FLAIR MR.
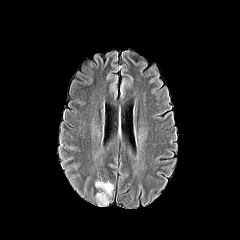
T1-weighted MRI.
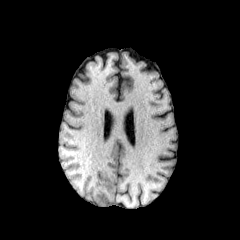
Post-contrast T1-weighted MR image.
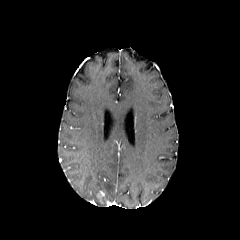
T2-weighted MRI.
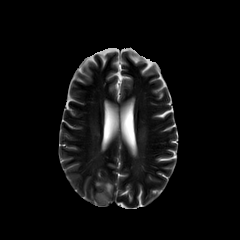
Image size 240x240
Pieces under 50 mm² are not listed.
peritumoral edema at <box>95,181,113,200</box>
enhancing tumor at <box>97,191,108,203</box>